Axial view
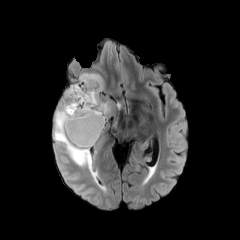
FLAIR MR image.
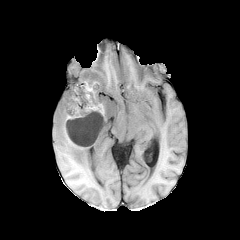
T1-weighted MRI.
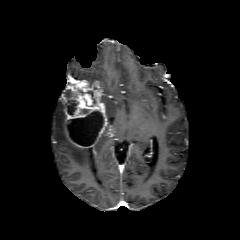
Post-contrast T1-weighted MR image.
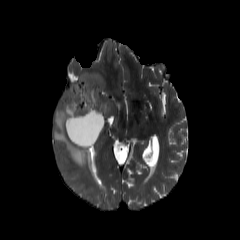
T2-weighted MR image of the same slice.
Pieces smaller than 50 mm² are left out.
<segmentation>
  <enhancing_tumor>left=63, top=77, right=107, bottom=148</enhancing_tumor>
  <necrotic_tumor_core>left=67, top=93, right=77, bottom=114; left=67, top=111, right=103, bottom=145</necrotic_tumor_core>
  <peritumoral_edema>left=78, top=73, right=103, bottom=88; left=54, top=101, right=94, bottom=169; left=104, top=101, right=111, bottom=114</peritumoral_edema>
</segmentation>